FLAIR MRI.
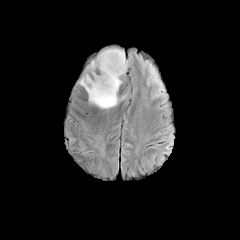
T1-weighted MR.
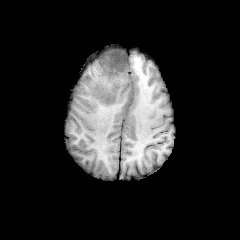
Post-contrast T1-weighted MRI.
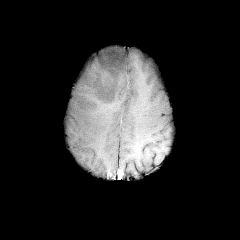
T2-weighted MRI.
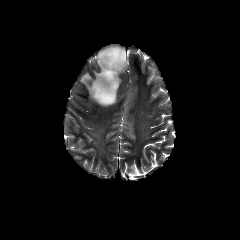
Axial view. Head.
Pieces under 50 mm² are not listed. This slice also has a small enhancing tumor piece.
<segmentation>
  <peritumoral_edema>80 48 127 109</peritumoral_edema>
</segmentation>